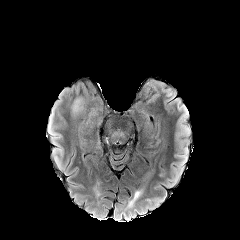
FLAIR magnetic resonance.
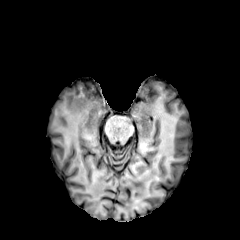
T1-weighted MR.
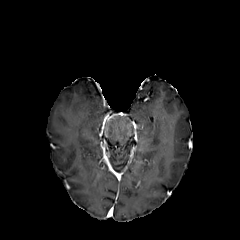
Post-contrast T1-weighted MR of the same slice.
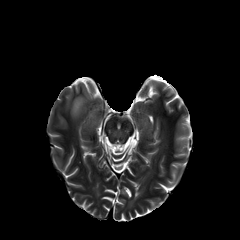
T2-weighted MR image.
240x240 px
{
  "peritumoral_edema": [
    "73, 99, 81, 112"
  ]
}